FLAIR MRI.
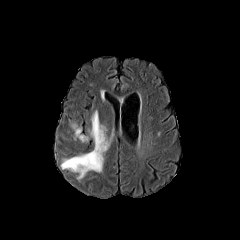
T1-weighted MR image.
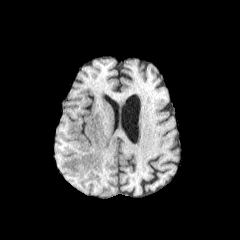
Post-contrast T1-weighted MR.
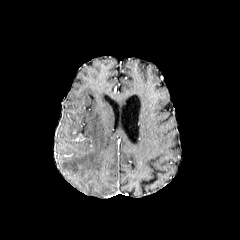
T2-weighted MR image.
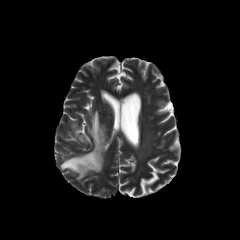
240x240 px; Head
<segmentation>
  <peritumoral_edema>71,123,88,142; 60,111,111,179</peritumoral_edema>
</segmentation>